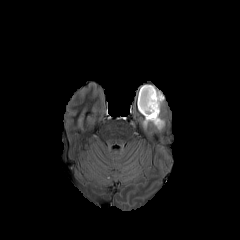
FLAIR MRI.
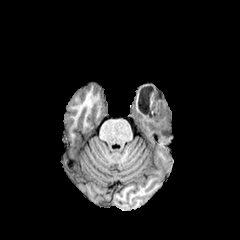
T1-weighted MRI.
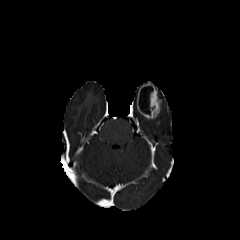
Post-contrast T1-weighted magnetic resonance.
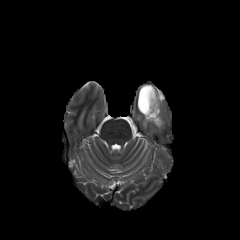
T2-weighted MR image.
Axial plane
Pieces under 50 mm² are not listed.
necrotic tumor core: bounding box <bbox>139, 86, 153, 114</bbox>
peritumoral edema: bounding box <bbox>142, 111, 164, 131</bbox>
enhancing tumor: bounding box <bbox>137, 83, 162, 119</bbox>